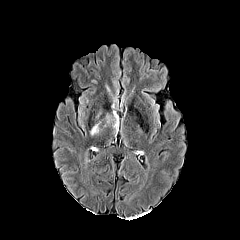
FLAIR MR image.
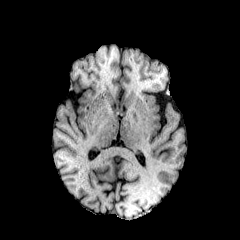
T1-weighted magnetic resonance.
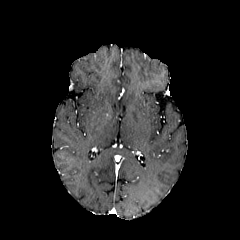
Post-contrast T1-weighted magnetic resonance.
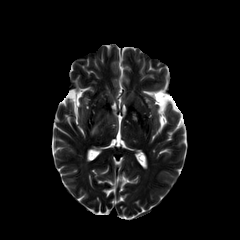
Same slice, T2-weighted MRI.
Axial slice. Brain.
Findings:
- peritumoral edema: [x1=90, y1=122, x2=100, y2=135], [x1=106, y1=111, x2=118, y2=133]